240x240 | Slice 52/155 | Head
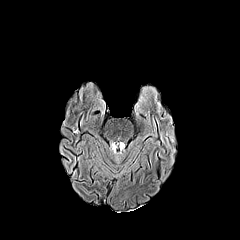
FLAIR MR image.
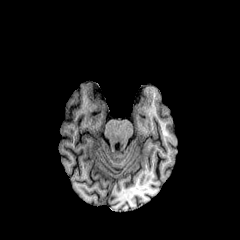
T1-weighted MR image.
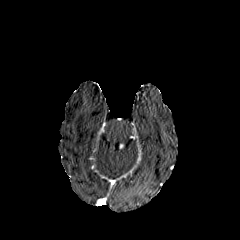
Post-contrast T1-weighted MRI of the same slice.
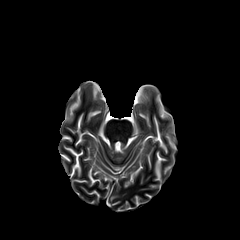
Same slice, T2-weighted MR image.
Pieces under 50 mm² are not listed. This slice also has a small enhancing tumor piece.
peritumoral edema: 110, 142, 124, 161